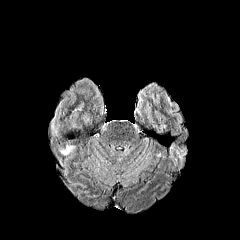
FLAIR magnetic resonance.
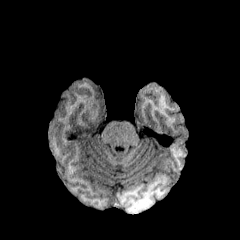
Same slice, T1-weighted magnetic resonance.
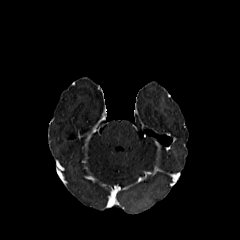
Same slice, post-contrast T1-weighted MR.
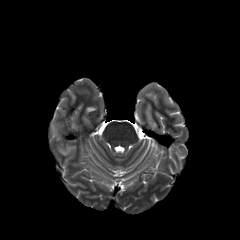
Same slice, T2-weighted MR image.
Axial plane.
peritumoral_edema:
  - x1=51, y1=123, x2=57, y2=135
  - x1=59, y1=146, x2=74, y2=155